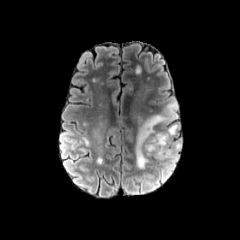
FLAIR MR.
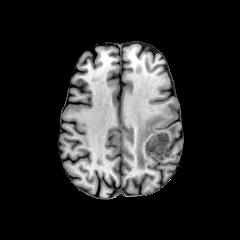
T1-weighted MR image of the same slice.
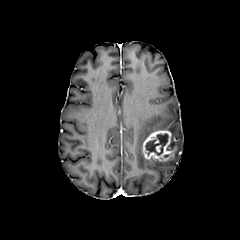
Post-contrast T1-weighted MR image.
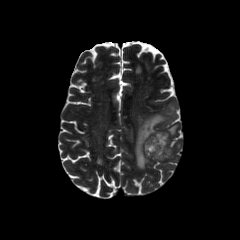
T2-weighted MR image.
Brain. Axial plane.
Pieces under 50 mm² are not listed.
The largest enhancing tumor region appears at [x1=143, y1=130, x2=176, y2=160]. The largest necrotic tumor core region is bounded by [x1=145, y1=133, x2=168, y2=155]. 2 peritumoral edema regions are bounded by [x1=167, y1=141, x2=181, y2=168], [x1=135, y1=100, x2=179, y2=168].